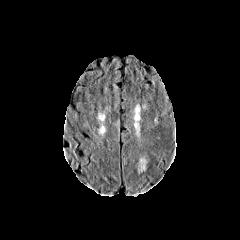
FLAIR magnetic resonance.
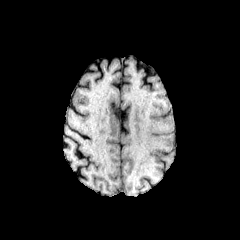
T1-weighted MR of the same slice.
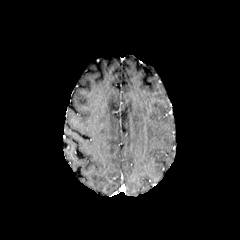
Same slice, post-contrast T1-weighted magnetic resonance.
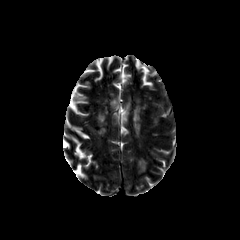
T2-weighted MR of the same slice.
Axial view, Head, 240x240
peritumoral_edema:
  - (134, 105, 140, 130)